Axial plane | Slice 106 of 155 | Head
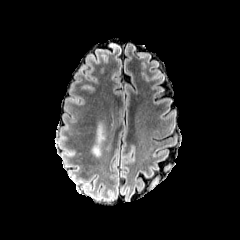
FLAIR MR image.
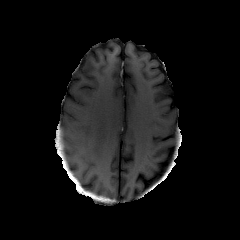
T1-weighted magnetic resonance of the same slice.
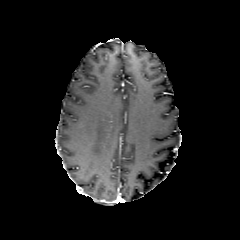
Post-contrast T1-weighted magnetic resonance.
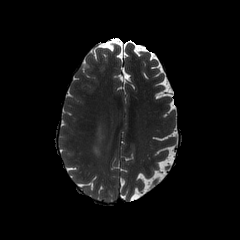
T2-weighted magnetic resonance of the same slice.
peritumoral edema: bounding box (x1=92, y1=125, x2=104, y2=156)